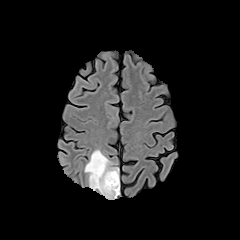
FLAIR magnetic resonance.
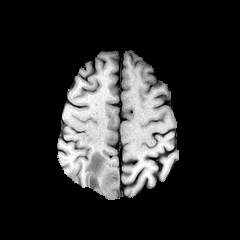
T1-weighted MR of the same slice.
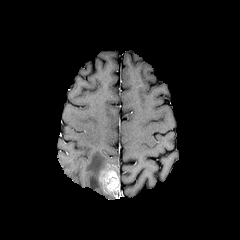
Post-contrast T1-weighted magnetic resonance.
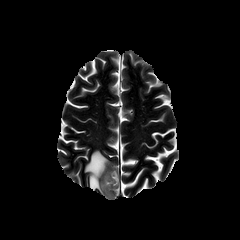
Same slice, T2-weighted MR image.
Axial plane. 240x240 px.
The enhancing tumor is located at l=99, t=166, r=117, b=195. The peritumoral edema is bounded by l=84, t=150, r=117, b=197.